FLAIR MRI.
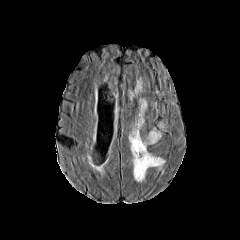
T1-weighted MR.
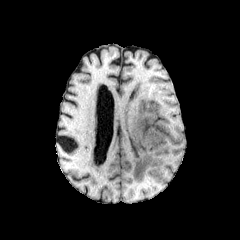
Post-contrast T1-weighted MR.
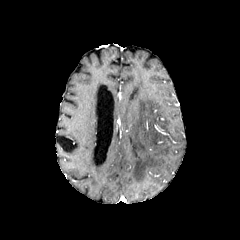
T2-weighted magnetic resonance.
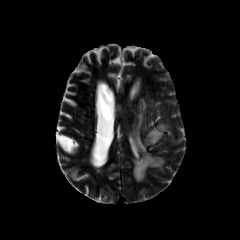
Axial plane | Brain
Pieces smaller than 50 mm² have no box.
The largest peritumoral edema region is located at region(129, 99, 165, 181).